Slice 49/155.
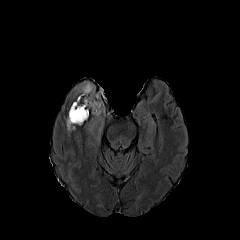
FLAIR MR.
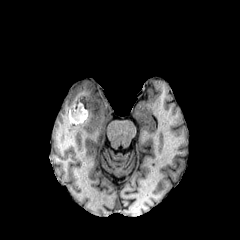
T1-weighted MR of the same slice.
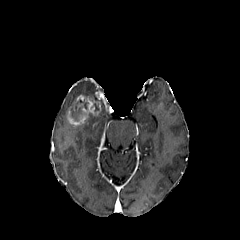
Post-contrast T1-weighted MRI.
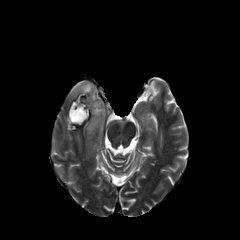
T2-weighted MR image.
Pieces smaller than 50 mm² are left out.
peritumoral edema: <bbox>66, 116, 75, 131</bbox>, <bbox>73, 81, 105, 131</bbox>
necrotic tumor core: <bbox>70, 99, 87, 121</bbox>
enhancing tumor: <bbox>68, 95, 101, 126</bbox>